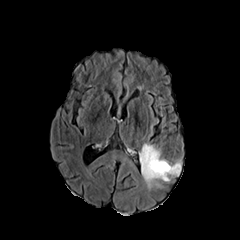
FLAIR magnetic resonance.
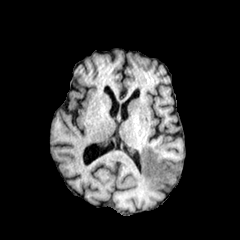
T1-weighted magnetic resonance.
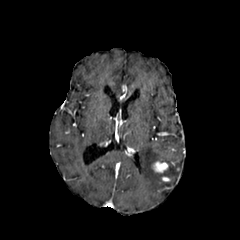
Same slice, post-contrast T1-weighted MRI.
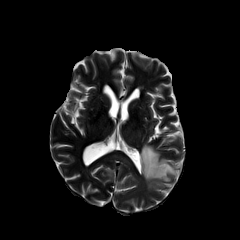
T2-weighted MR.
Brain | 240x240 px
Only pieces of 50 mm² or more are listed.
Segmented structures:
* peritumoral edema: [139,143,180,188]
* enhancing tumor: [152,161,168,172]